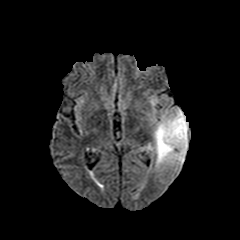
FLAIR magnetic resonance.
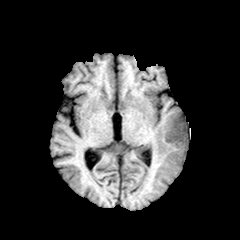
T1-weighted magnetic resonance of the same slice.
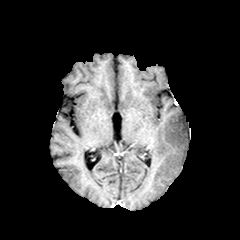
Post-contrast T1-weighted MRI.
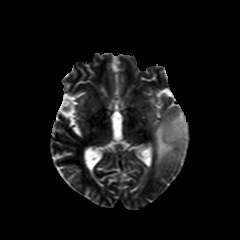
Same slice, T2-weighted MR image.
Brain.
Findings:
- peritumoral edema: 153,108,188,166